Image size 240x240 | Axial plane | Head
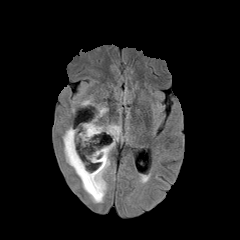
FLAIR magnetic resonance.
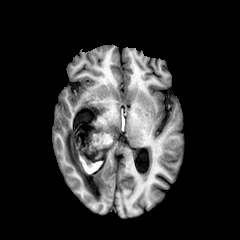
T1-weighted magnetic resonance of the same slice.
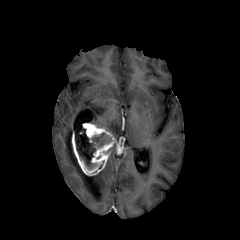
Post-contrast T1-weighted MR image.
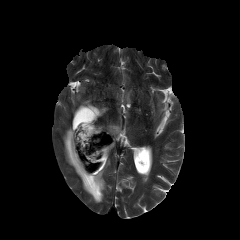
T2-weighted magnetic resonance.
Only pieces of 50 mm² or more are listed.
enhancing tumor = bbox(71, 123, 116, 175)
peritumoral edema = bbox(96, 107, 106, 117); bbox(97, 123, 121, 140); bbox(63, 127, 110, 202)
necrotic tumor core = bbox(75, 126, 111, 169)